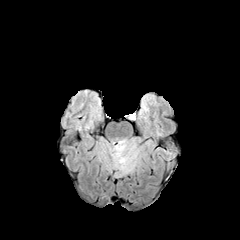
FLAIR MR image.
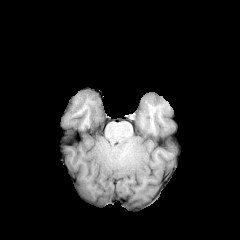
Same slice, T1-weighted MRI.
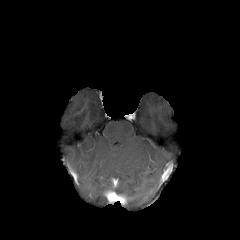
Same slice, post-contrast T1-weighted magnetic resonance.
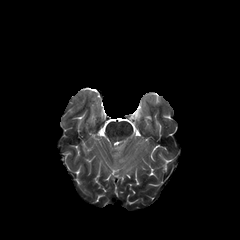
T2-weighted MRI.
<segmentation>
  <peritumoral_edema>box=[111, 139, 138, 176]</peritumoral_edema>
</segmentation>